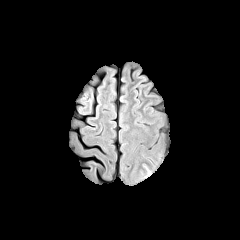
FLAIR MR.
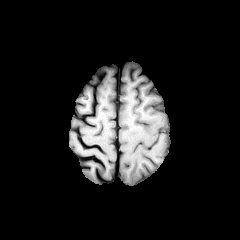
Same slice, T1-weighted magnetic resonance.
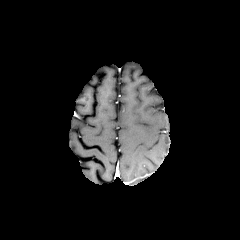
Same slice, post-contrast T1-weighted MR.
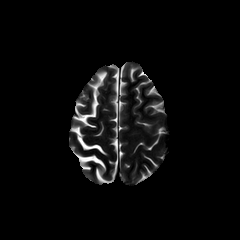
Same slice, T2-weighted MRI.
Brain; Axial slice
The peritumoral edema appears at rect(140, 163, 154, 178).